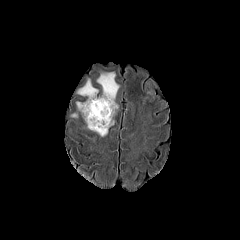
FLAIR magnetic resonance.
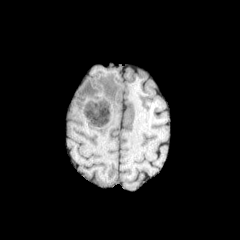
T1-weighted MRI of the same slice.
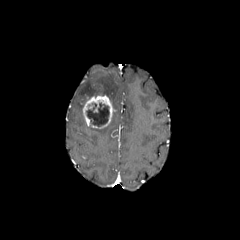
Same slice, post-contrast T1-weighted magnetic resonance.
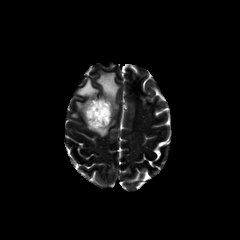
Same slice, T2-weighted MR.
Image size 240x240. Axial view. Head.
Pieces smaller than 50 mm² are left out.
{
  "enhancing_tumor": [
    "bbox=[82, 95, 114, 128]"
  ],
  "necrotic_tumor_core": [
    "bbox=[87, 103, 109, 126]"
  ],
  "peritumoral_edema": [
    "bbox=[77, 79, 98, 97]",
    "bbox=[97, 72, 119, 115]",
    "bbox=[87, 117, 114, 136]",
    "bbox=[76, 102, 83, 112]"
  ]
}